FLAIR magnetic resonance.
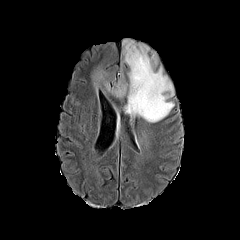
T1-weighted MRI.
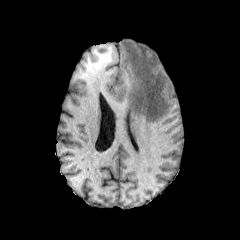
Post-contrast T1-weighted MR.
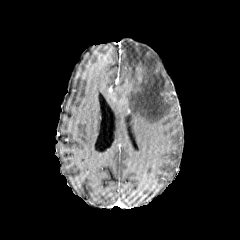
T2-weighted magnetic resonance.
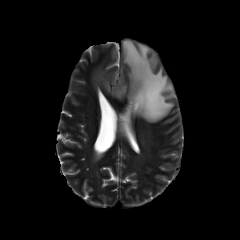
Axial view.
<segmentation>
  <enhancing_tumor>136, 66, 141, 80</enhancing_tumor>
  <peritumoral_edema>122, 38, 174, 122; 91, 65, 127, 98</peritumoral_edema>
</segmentation>